240x240.
FLAIR magnetic resonance.
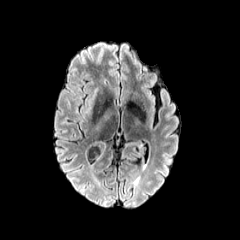
T1-weighted MR image.
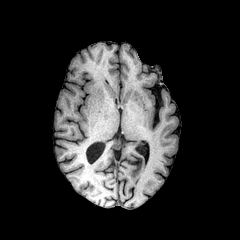
Post-contrast T1-weighted MRI.
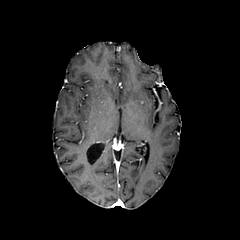
T2-weighted MRI.
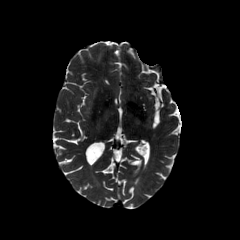
peritumoral edema = [96,110,110,130], [84,87,98,115]